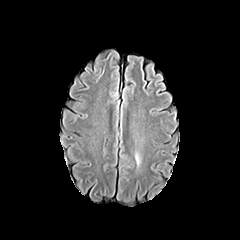
FLAIR magnetic resonance.
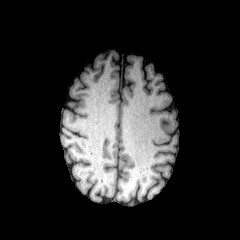
Same slice, T1-weighted MRI.
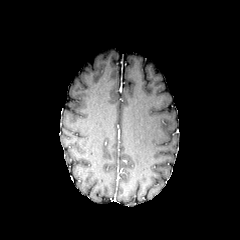
Post-contrast T1-weighted magnetic resonance.
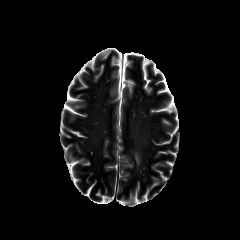
T2-weighted magnetic resonance.
Head.
Annotated regions:
• peritumoral edema: box=[135, 152, 140, 165]